Slice 92 of 155, Brain, Axial view
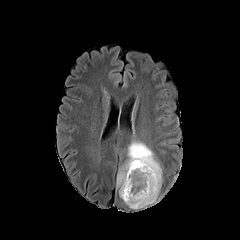
FLAIR MR image.
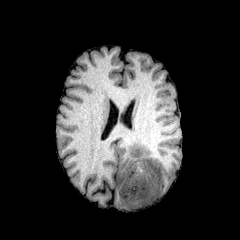
T1-weighted MR image.
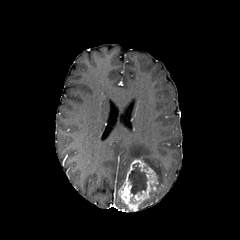
Post-contrast T1-weighted MR image.
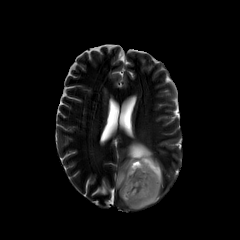
Same slice, T2-weighted MR.
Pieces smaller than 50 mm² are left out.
enhancing_tumor:
  - [x1=118, y1=159, x2=158, y2=211]
necrotic_tumor_core:
  - [x1=141, y1=191, x2=156, y2=205]
  - [x1=128, y1=163, x2=147, y2=194]
peritumoral_edema:
  - [x1=116, y1=141, x2=162, y2=190]